FLAIR MR image.
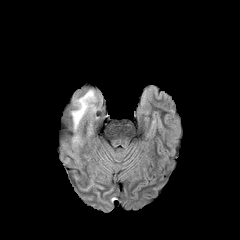
T1-weighted magnetic resonance.
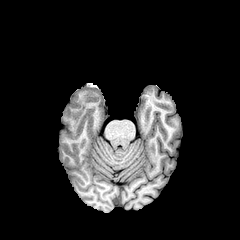
Post-contrast T1-weighted MR.
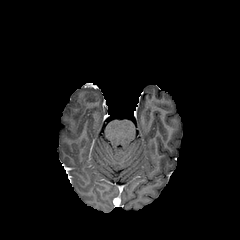
T2-weighted MRI.
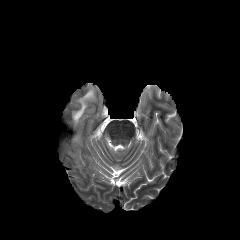
Axial plane.
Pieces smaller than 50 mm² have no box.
Segmented structures:
• peritumoral edema: [72,90,95,128]